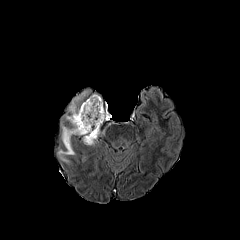
FLAIR magnetic resonance.
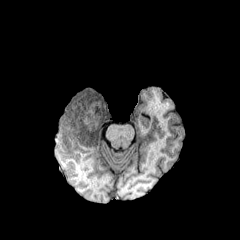
T1-weighted MR.
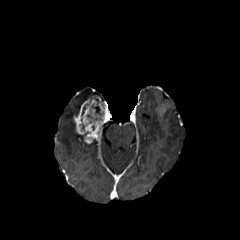
Post-contrast T1-weighted MR image.
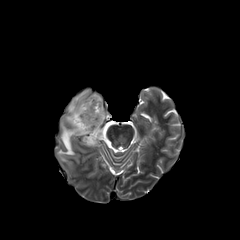
T2-weighted MRI of the same slice.
Brain
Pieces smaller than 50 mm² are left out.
peritumoral_edema:
  - 57,90,89,162
enhancing_tumor:
  - 73,96,104,143
necrotic_tumor_core:
  - 92,105,101,115